Slice index 138.
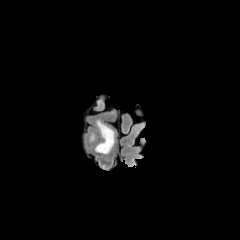
FLAIR MR.
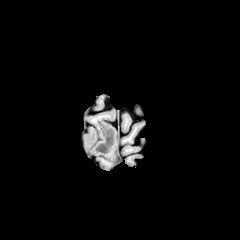
Same slice, T1-weighted magnetic resonance.
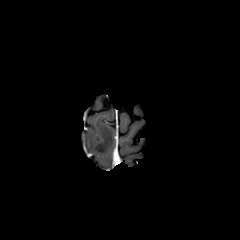
Post-contrast T1-weighted MRI.
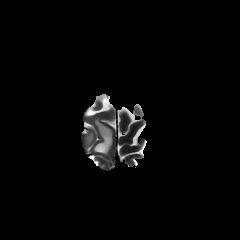
T2-weighted magnetic resonance.
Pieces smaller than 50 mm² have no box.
The largest peritumoral edema region lies within <bbox>95, 120, 113, 154</bbox>.